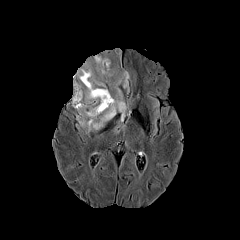
FLAIR magnetic resonance.
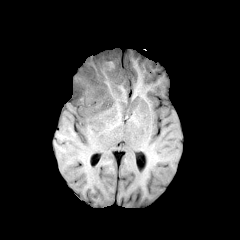
T1-weighted magnetic resonance.
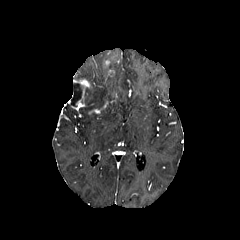
Post-contrast T1-weighted MR image of the same slice.
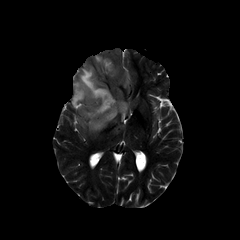
T2-weighted MRI.
Axial slice
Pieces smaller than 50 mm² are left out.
enhancing tumor — [88,101,108,115], [71,79,91,110], [103,58,111,67]
peritumoral edema — [115,69,129,88], [76,55,130,133]
necrotic tumor core — [70,83,82,106]